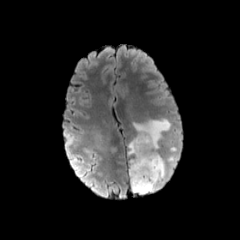
FLAIR MR.
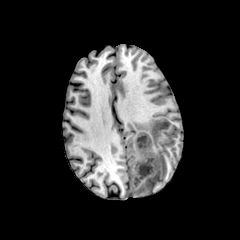
T1-weighted MR image of the same slice.
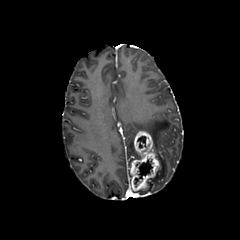
Post-contrast T1-weighted magnetic resonance of the same slice.
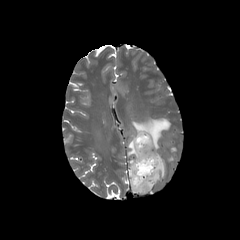
T2-weighted MR.
Head. Axial plane.
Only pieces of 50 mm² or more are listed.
<segmentation>
  <enhancing_tumor>region(129, 131, 160, 191)</enhancing_tumor>
  <peritumoral_edema>region(132, 118, 170, 152); region(128, 137, 138, 158); region(134, 153, 165, 194)</peritumoral_edema>
  <necrotic_tumor_core>region(134, 159, 152, 186); region(137, 136, 146, 148)</necrotic_tumor_core>
</segmentation>